Image width 240 mm; Head
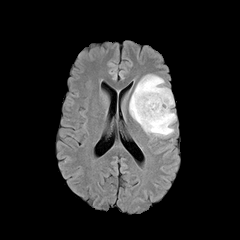
FLAIR magnetic resonance.
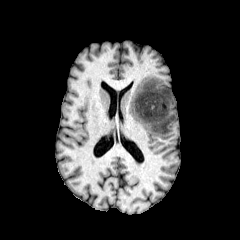
Same slice, T1-weighted MR.
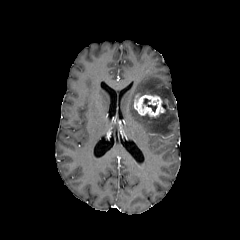
Same slice, post-contrast T1-weighted MR image.
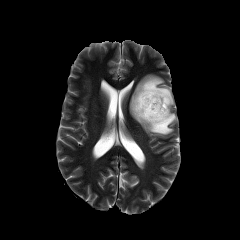
Same slice, T2-weighted magnetic resonance.
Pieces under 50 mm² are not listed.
Findings:
* peritumoral edema: region(129, 74, 176, 136)
* necrotic tumor core: region(143, 98, 156, 111)
* enhancing tumor: region(134, 94, 165, 117)